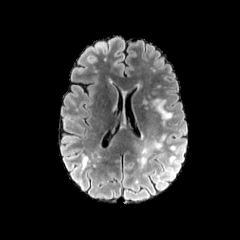
FLAIR MR.
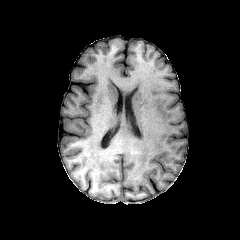
T1-weighted magnetic resonance.
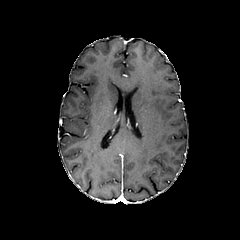
Post-contrast T1-weighted MR.
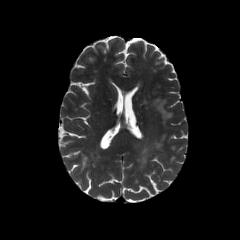
T2-weighted MR.
Brain | Axial slice | 240x240 px
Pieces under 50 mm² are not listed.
peritumoral_edema:
  - (left=139, top=141, right=161, bottom=167)